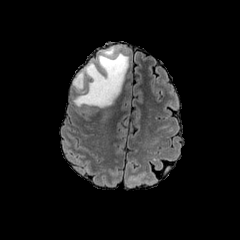
FLAIR magnetic resonance.
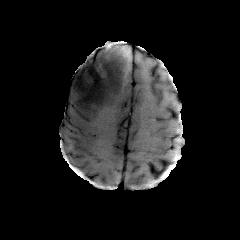
Same slice, T1-weighted MR image.
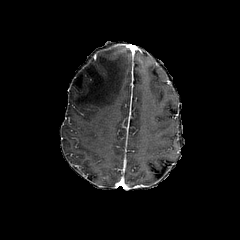
Same slice, post-contrast T1-weighted MR image.
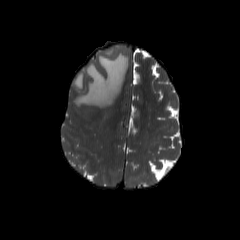
T2-weighted MR.
peritumoral edema — <box>72,46,128,108</box>